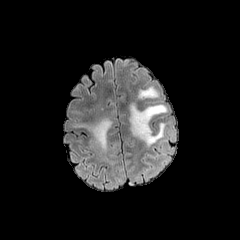
FLAIR MR.
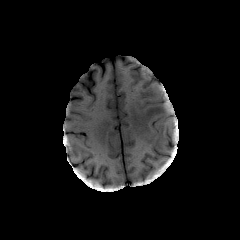
T1-weighted magnetic resonance of the same slice.
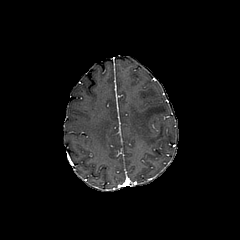
Same slice, post-contrast T1-weighted MR.
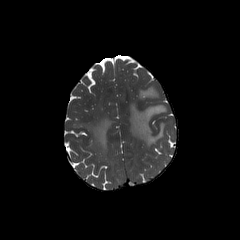
Same slice, T2-weighted MRI.
Head
• peritumoral edema: l=79, t=118, r=112, b=152; l=137, t=86, r=159, b=99; l=129, t=102, r=167, b=146